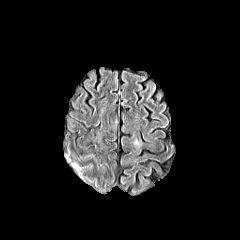
FLAIR magnetic resonance.
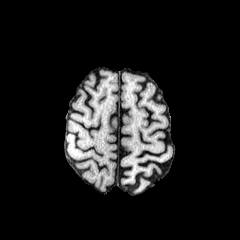
T1-weighted MR image of the same slice.
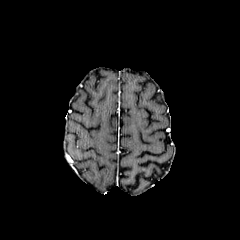
Post-contrast T1-weighted MR image.
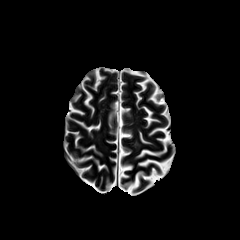
Same slice, T2-weighted MR image.
peritumoral_edema:
  - [64, 154, 85, 180]